Axial view; Head
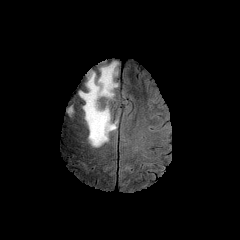
FLAIR magnetic resonance.
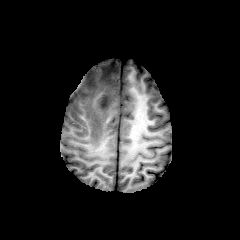
Same slice, T1-weighted MRI.
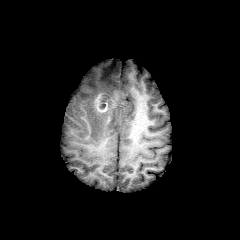
Post-contrast T1-weighted MR.
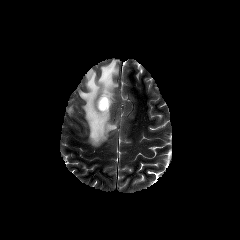
T2-weighted MR.
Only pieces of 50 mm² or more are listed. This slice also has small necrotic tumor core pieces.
The enhancing tumor is bounded by 96 94 114 112. The largest peritumoral edema region is bounded by 79 60 118 146.